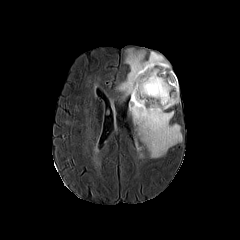
FLAIR magnetic resonance.
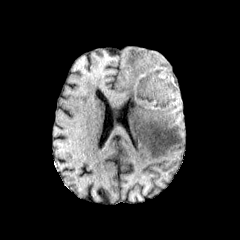
Same slice, T1-weighted magnetic resonance.
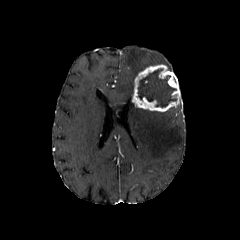
Same slice, post-contrast T1-weighted MRI.
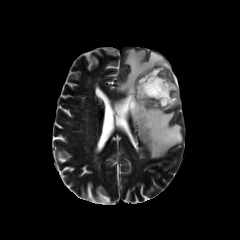
T2-weighted magnetic resonance.
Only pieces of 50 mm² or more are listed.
<segmentation>
  <enhancing_tumor>[132, 64, 180, 111]</enhancing_tumor>
  <necrotic_tumor_core>[138, 69, 176, 107]</necrotic_tumor_core>
  <peritumoral_edema>[117, 48, 182, 158]</peritumoral_edema>
</segmentation>